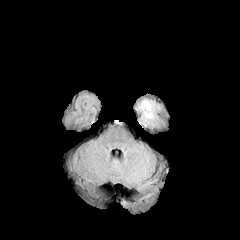
FLAIR MRI.
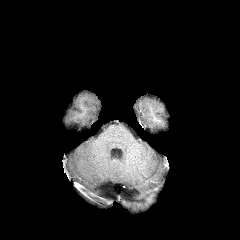
Same slice, T1-weighted magnetic resonance.
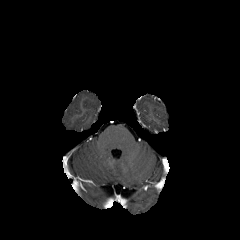
Post-contrast T1-weighted magnetic resonance.
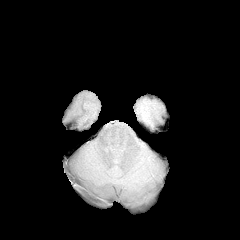
T2-weighted magnetic resonance.
Axial view, Head
peritumoral edema: (138, 99, 159, 124)